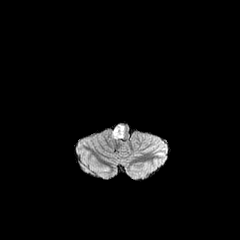
FLAIR magnetic resonance.
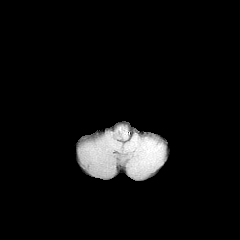
T1-weighted MRI.
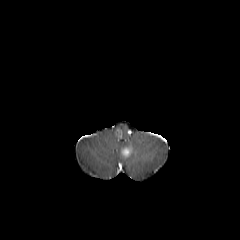
Post-contrast T1-weighted magnetic resonance of the same slice.
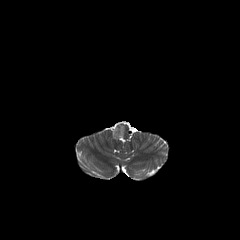
Same slice, T2-weighted magnetic resonance.
Head, 240x240 px
<segmentation>
  <enhancing_tumor>(left=114, top=129, right=122, bottom=137)</enhancing_tumor>
  <peritumoral_edema>(left=112, top=124, right=125, bottom=139)</peritumoral_edema>
</segmentation>